Axial plane. Head.
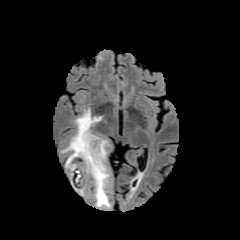
FLAIR MRI.
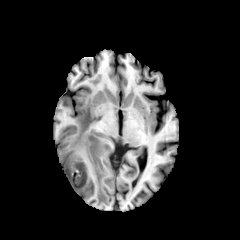
T1-weighted MR image of the same slice.
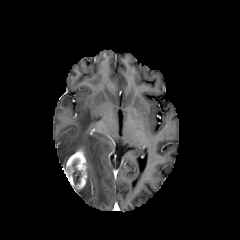
Post-contrast T1-weighted MRI of the same slice.
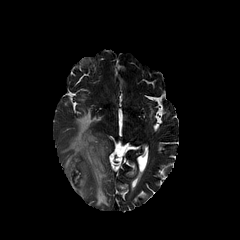
T2-weighted MR of the same slice.
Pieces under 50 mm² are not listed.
enhancing tumor = x1=64, y1=149, x2=87, y2=189
peritumoral edema = x1=61, y1=108, x2=110, y2=207
necrotic tumor core = x1=68, y1=157, x2=83, y2=184